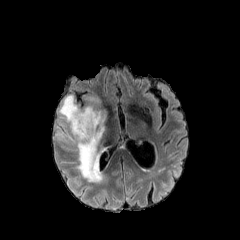
FLAIR magnetic resonance.
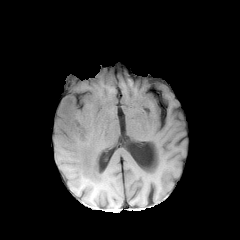
Same slice, T1-weighted MR image.
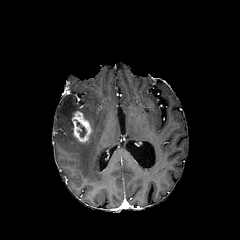
Post-contrast T1-weighted MR.
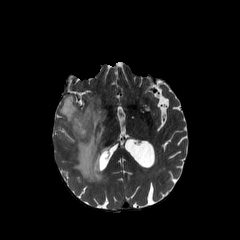
T2-weighted MR image.
Image size 240x240.
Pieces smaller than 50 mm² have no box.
The necrotic tumor core is bounded by rect(75, 120, 85, 137). The largest peritumoral edema region is at rect(59, 95, 107, 181). The enhancing tumor is bounded by rect(72, 111, 92, 143).